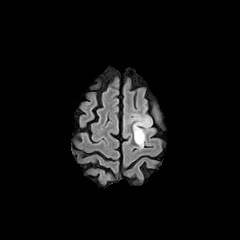
FLAIR MRI.
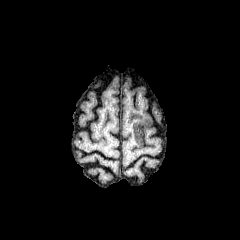
Same slice, T1-weighted MR image.
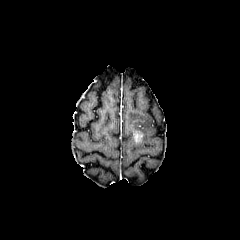
Post-contrast T1-weighted MR image.
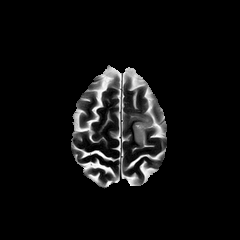
T2-weighted MRI of the same slice.
Head
The peritumoral edema is at l=129, t=113, r=153, b=149. The enhancing tumor is at l=134, t=130, r=143, b=142.